FLAIR MR.
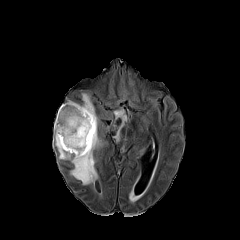
T1-weighted magnetic resonance.
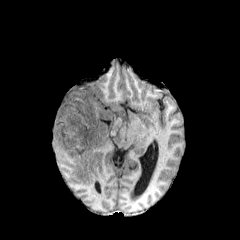
Post-contrast T1-weighted MR.
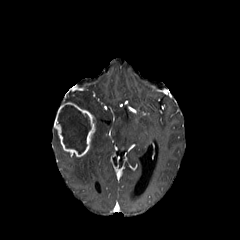
T2-weighted MR image.
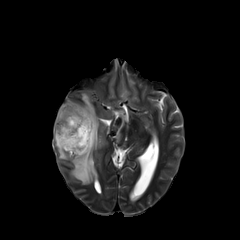
Head.
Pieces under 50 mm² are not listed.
enhancing tumor: l=54, t=102, r=95, b=156
necrotic tumor core: l=58, t=105, r=90, b=154
peritumoral edema: l=114, t=109, r=126, b=142; l=128, t=190, r=140, b=201; l=54, t=93, r=103, b=184